FLAIR magnetic resonance.
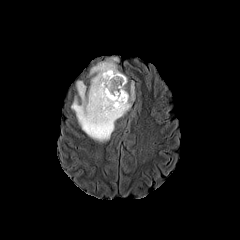
T1-weighted MRI.
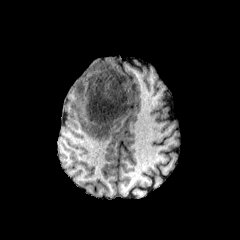
Post-contrast T1-weighted MR image.
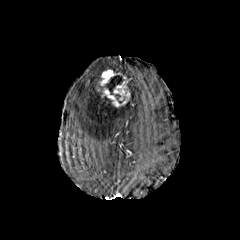
T2-weighted MRI.
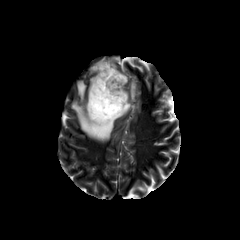
Image size 240x240 | Head
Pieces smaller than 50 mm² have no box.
peritumoral edema at (left=71, top=57, right=135, bottom=142)
necrotic tumor core at (left=96, top=75, right=124, bottom=94), (left=103, top=96, right=123, bottom=108)
enhancing tumor at (left=98, top=69, right=130, bottom=107)